Image width 240 mm, 1.00 mm slice spacing, Axial plane, Brain
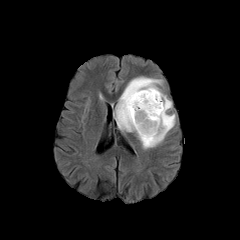
FLAIR MR image.
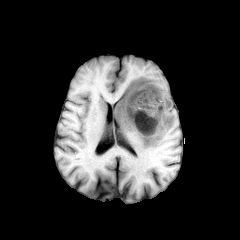
T1-weighted magnetic resonance.
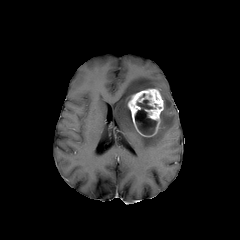
Post-contrast T1-weighted MR.
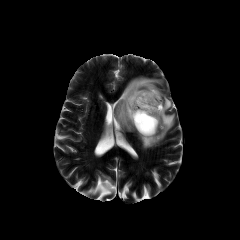
T2-weighted magnetic resonance.
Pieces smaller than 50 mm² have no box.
peritumoral edema — 114,76,175,149
enhancing tumor — 127,88,163,136
necrotic tumor core — 135,100,156,134